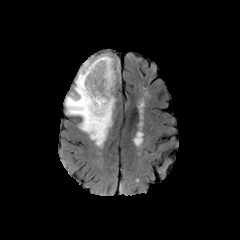
FLAIR MR image.
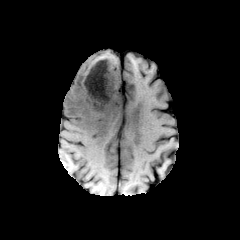
T1-weighted MR.
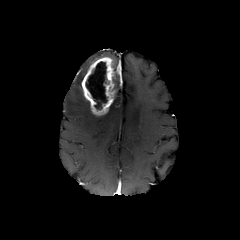
Same slice, post-contrast T1-weighted MR.
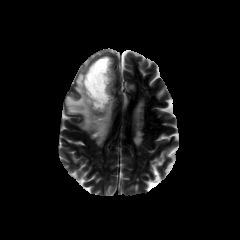
T2-weighted MR image.
Axial plane.
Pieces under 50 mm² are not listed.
The largest peritumoral edema region is bounded by 64,53,119,147. The enhancing tumor is bounded by 81,57,120,115. The necrotic tumor core is located at 86,62,107,109.